FLAIR MRI.
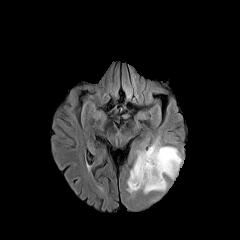
T1-weighted MRI.
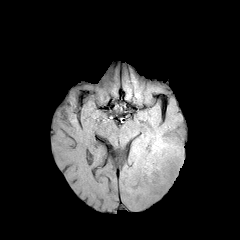
Post-contrast T1-weighted MR image.
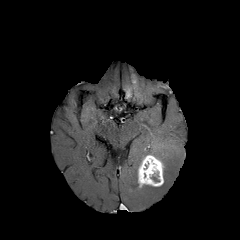
T2-weighted MR.
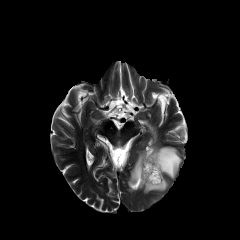
Head; Axial plane
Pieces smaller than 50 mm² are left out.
Findings:
• enhancing tumor: box(138, 155, 164, 187)
• peritumoral edema: box(127, 139, 182, 193)
• necrotic tumor core: box(149, 158, 159, 182)